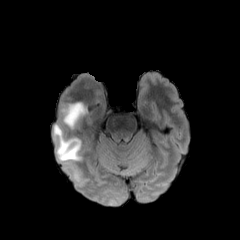
FLAIR MR.
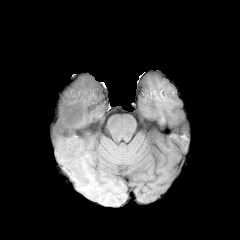
T1-weighted magnetic resonance.
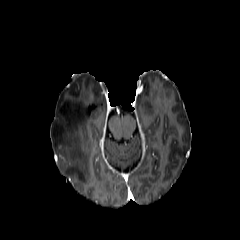
Post-contrast T1-weighted MR of the same slice.
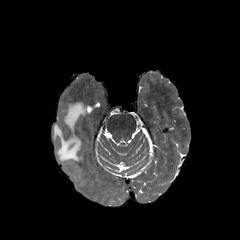
T2-weighted MRI of the same slice.
Image size 240x240, Axial view, Brain
peritumoral edema: bbox(60, 102, 87, 131); bbox(53, 123, 82, 182)